Brain
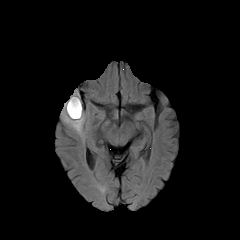
FLAIR magnetic resonance.
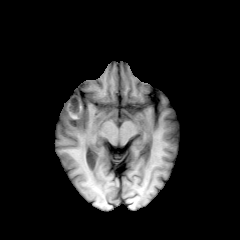
T1-weighted MRI.
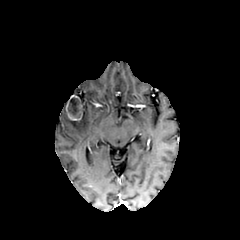
Post-contrast T1-weighted MR.
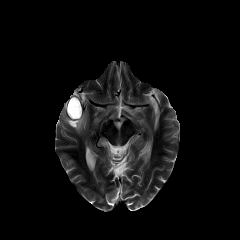
T2-weighted MRI.
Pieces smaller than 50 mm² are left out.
Annotated regions:
- necrotic tumor core: <box>68,98,81,117</box>
- peritumoral edema: <box>61,101,85,135</box>
- enhancing tumor: <box>66,95,82,120</box>